FLAIR magnetic resonance.
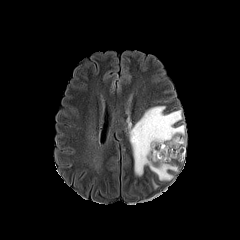
T1-weighted MRI.
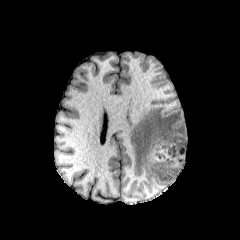
Post-contrast T1-weighted MR.
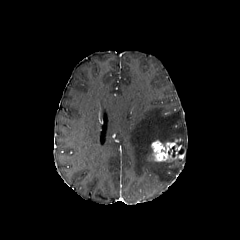
T2-weighted MR.
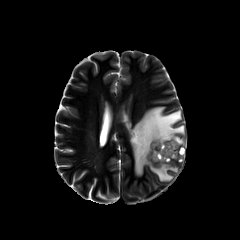
Head
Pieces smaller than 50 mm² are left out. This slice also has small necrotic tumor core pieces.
Annotated regions:
- enhancing tumor: (left=148, top=138, right=185, bottom=162)
- peritumoral edema: (left=128, top=106, right=185, bottom=181)